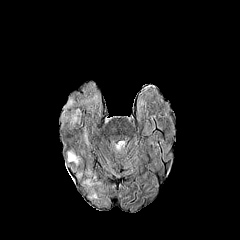
FLAIR magnetic resonance.
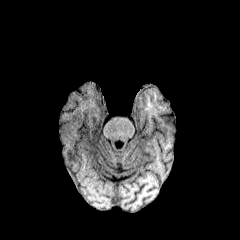
T1-weighted MRI.
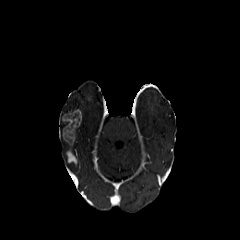
Post-contrast T1-weighted MR of the same slice.
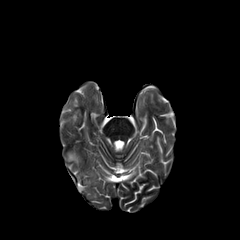
T2-weighted magnetic resonance of the same slice.
Image size 240x240 | Brain
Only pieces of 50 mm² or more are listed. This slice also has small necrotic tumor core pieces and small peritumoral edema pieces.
2 enhancing tumor regions are bounded by region(67, 151, 77, 163); region(62, 109, 81, 149).